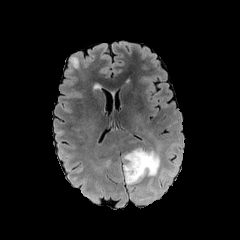
FLAIR magnetic resonance.
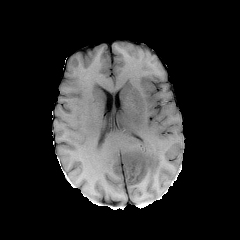
T1-weighted MRI of the same slice.
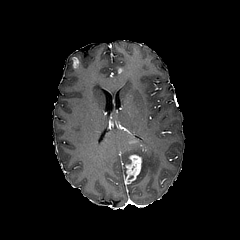
Post-contrast T1-weighted MRI.
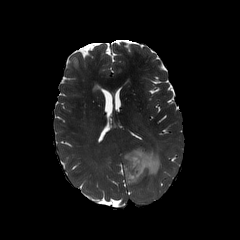
T2-weighted MRI.
Axial plane; Head
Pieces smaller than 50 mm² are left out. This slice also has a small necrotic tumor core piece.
The 2 largest peritumoral edema regions are bounded by <box>122,147,160,192</box>, <box>159,170,166,180</box>. The 2 largest enhancing tumor regions appear at <box>72,56,79,68</box>, <box>125,154,142,183</box>.